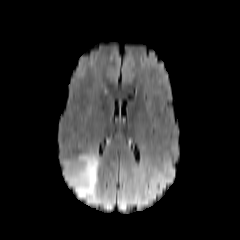
FLAIR magnetic resonance.
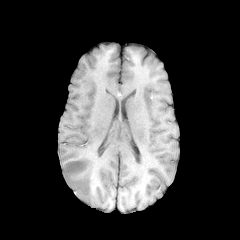
T1-weighted MR image.
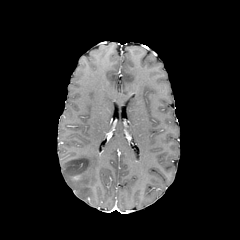
Post-contrast T1-weighted MR image of the same slice.
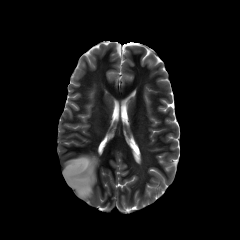
Same slice, T2-weighted MR image.
Head
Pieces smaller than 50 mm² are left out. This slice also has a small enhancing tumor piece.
peritumoral edema at [63,153,100,203]